Brain, Image size 240x240
FLAIR MR.
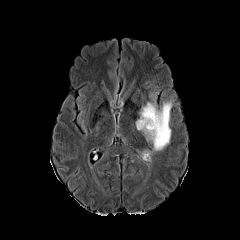
T1-weighted MR.
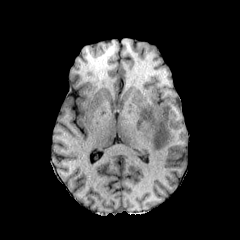
Post-contrast T1-weighted MR image.
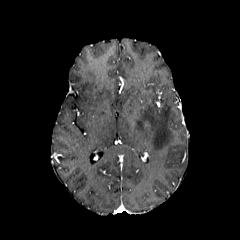
T2-weighted MR image.
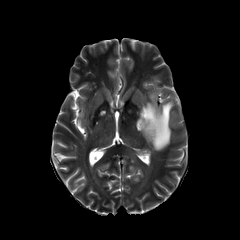
peritumoral edema: [136, 91, 182, 154]